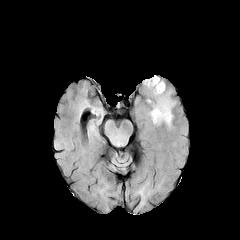
FLAIR MR image.
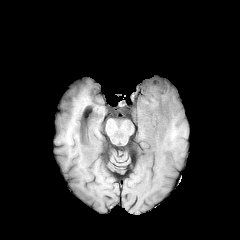
Same slice, T1-weighted MR image.
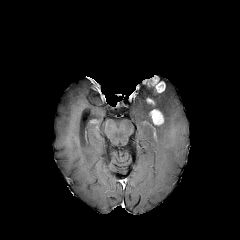
Same slice, post-contrast T1-weighted magnetic resonance.
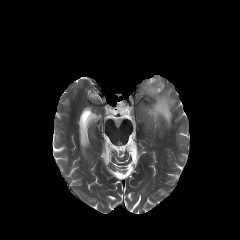
T2-weighted MR image.
Brain, Axial slice
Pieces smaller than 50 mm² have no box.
enhancing_tumor:
  - 143, 76, 165, 92
  - 149, 109, 163, 125
peritumoral_edema:
  - 144, 81, 174, 126